Axial slice; Slice index 128
FLAIR MR.
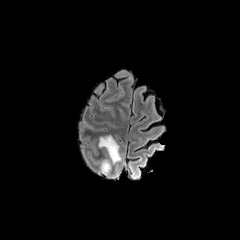
T1-weighted magnetic resonance.
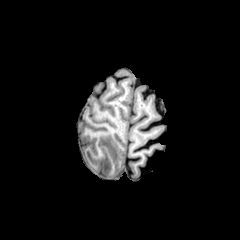
Post-contrast T1-weighted MRI.
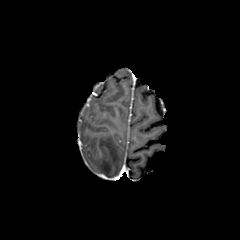
T2-weighted MRI.
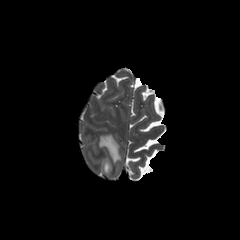
peritumoral edema: region(98, 135, 121, 175)